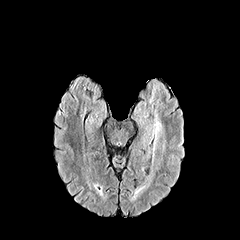
FLAIR MRI.
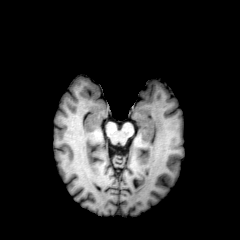
T1-weighted MR image.
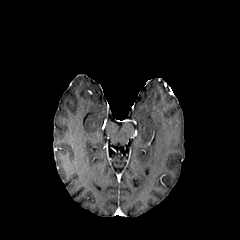
Same slice, post-contrast T1-weighted MRI.
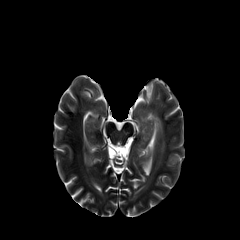
T2-weighted MRI.
Head
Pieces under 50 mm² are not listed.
peritumoral edema: region(152, 108, 164, 155)